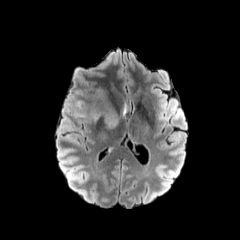
FLAIR MRI.
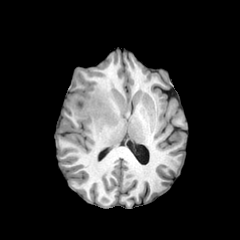
Same slice, T1-weighted MRI.
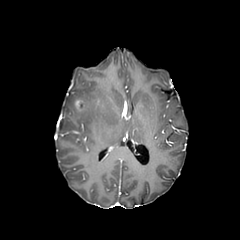
Same slice, post-contrast T1-weighted MR.
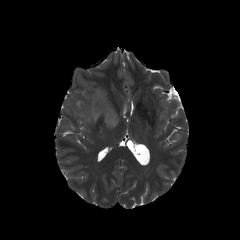
T2-weighted MR image.
Axial view; Brain
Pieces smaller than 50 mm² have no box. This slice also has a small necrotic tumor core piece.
enhancing tumor: bounding box 122, 101, 127, 115; 75, 99, 86, 111
peritumoral edema: bounding box 76, 86, 118, 129